240x240 px | Slice 83/155
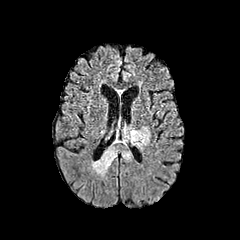
FLAIR MR.
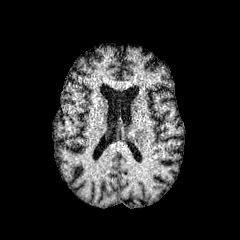
T1-weighted MRI.
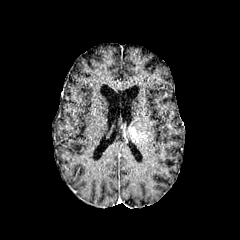
Same slice, post-contrast T1-weighted magnetic resonance.
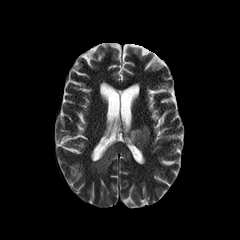
Same slice, T2-weighted MRI.
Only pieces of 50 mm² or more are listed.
Annotated regions:
* enhancing tumor: region(129, 127, 148, 144)
* peritumoral edema: region(134, 127, 150, 149); region(93, 147, 116, 173)